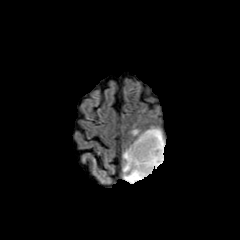
FLAIR MR image.
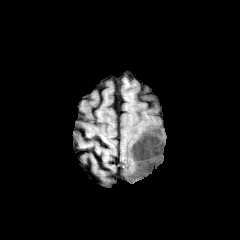
T1-weighted MRI of the same slice.
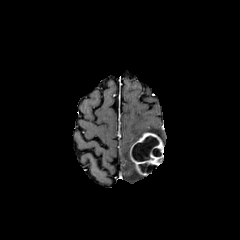
Post-contrast T1-weighted magnetic resonance.
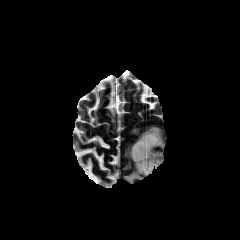
Same slice, T2-weighted magnetic resonance.
Axial view; 240x240 px
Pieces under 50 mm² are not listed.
necrotic tumor core = [132,136,158,161], [152,148,161,156], [139,163,155,173]
enhancing tumor = [129,132,164,175]
peritumoral edema = [145,127,164,144], [123,146,146,183]